FLAIR MR.
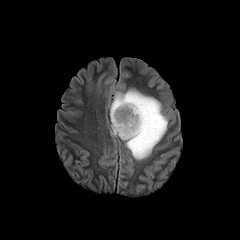
T1-weighted MR.
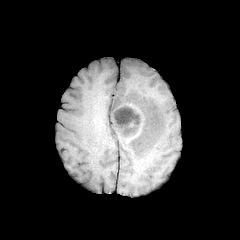
Post-contrast T1-weighted MR image.
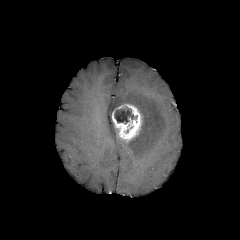
T2-weighted MR image.
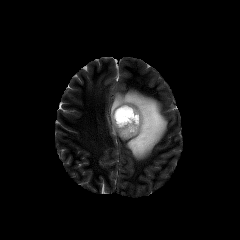
Head, Axial view
Findings:
* necrotic tumor core: 114 108 133 122
* peritumoral edema: 110 122 118 136, 110 89 168 160
* enhancing tumor: 112 104 142 141